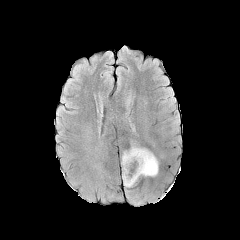
FLAIR MRI.
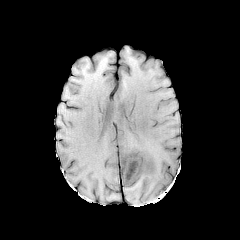
Same slice, T1-weighted MR.
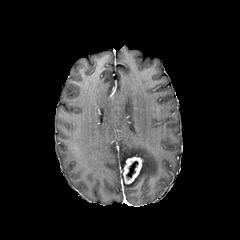
Same slice, post-contrast T1-weighted MR.
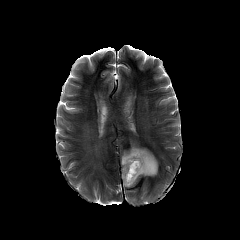
T2-weighted MRI.
Brain | Axial slice
Findings:
* necrotic tumor core: (left=126, top=161, right=137, bottom=180)
* enhancing tumor: (left=123, top=157, right=142, bottom=184)
* peritumoral edema: (left=121, top=143, right=158, bottom=187)